Image covers 240 mm x 240 mm. Head. 240x240 px. Axial slice. Slice 92/155.
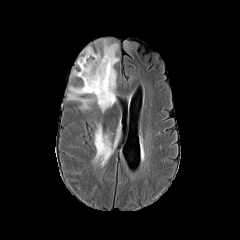
FLAIR magnetic resonance.
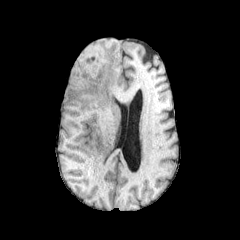
T1-weighted magnetic resonance.
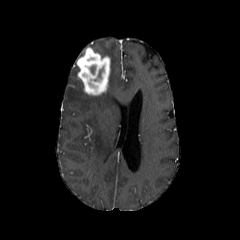
Post-contrast T1-weighted MR of the same slice.
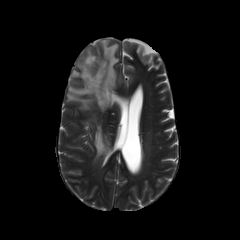
T2-weighted magnetic resonance.
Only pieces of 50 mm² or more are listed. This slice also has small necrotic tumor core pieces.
<segmentation>
  <enhancing_tumor>left=76, top=47, right=110, bottom=95</enhancing_tumor>
  <peritumoral_edema>left=94, top=124, right=112, bottom=165; left=97, top=40, right=119, bottom=111; left=67, top=85, right=94, bottom=109</peritumoral_edema>
</segmentation>